Slice 56 of 155, Axial slice
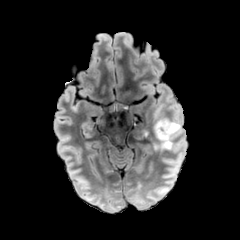
FLAIR magnetic resonance.
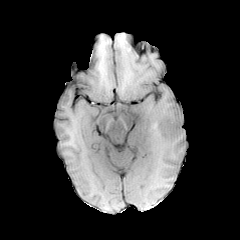
T1-weighted MR.
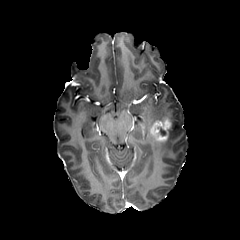
Post-contrast T1-weighted magnetic resonance of the same slice.
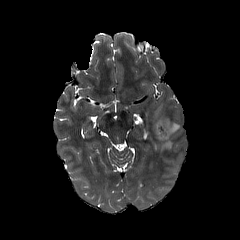
T2-weighted MR image of the same slice.
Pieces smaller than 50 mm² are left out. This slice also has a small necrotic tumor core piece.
Segmented structures:
• enhancing tumor: box=[149, 118, 171, 141]
• peritumoral edema: box=[151, 111, 181, 151]